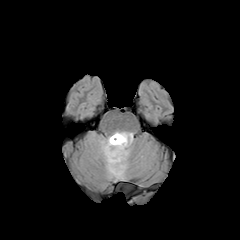
FLAIR magnetic resonance.
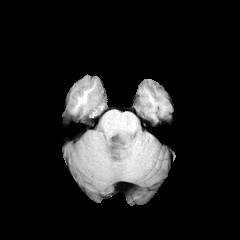
Same slice, T1-weighted MRI.
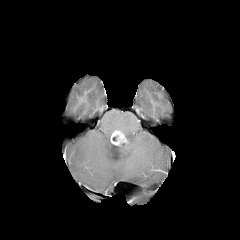
Same slice, post-contrast T1-weighted magnetic resonance.
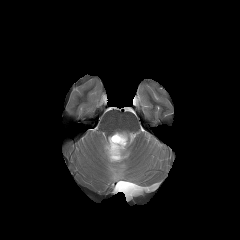
T2-weighted MR.
Brain; Axial slice
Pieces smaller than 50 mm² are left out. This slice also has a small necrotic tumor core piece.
enhancing tumor — <box>110,131,127,145</box>
peritumoral edema — <box>100,131,133,180</box>